240x240
FLAIR MR.
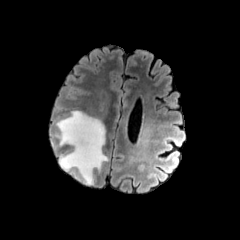
T1-weighted MR image.
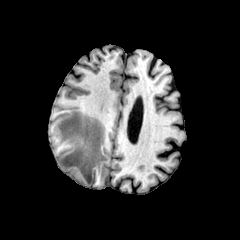
Post-contrast T1-weighted magnetic resonance.
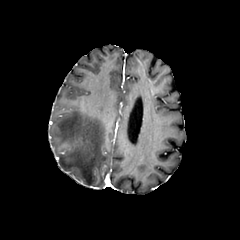
T2-weighted MRI.
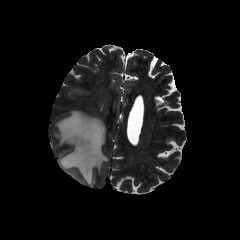
peritumoral edema: (x1=55, y1=111, x2=108, y2=184)